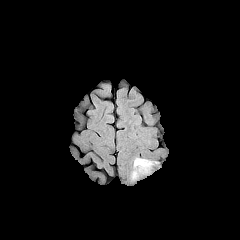
FLAIR magnetic resonance.
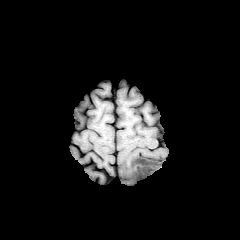
Same slice, T1-weighted MRI.
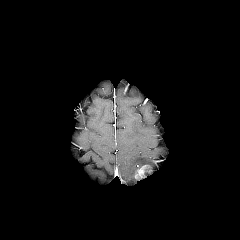
Post-contrast T1-weighted MRI.
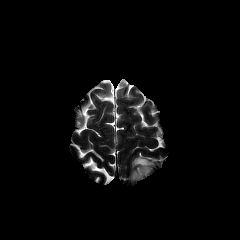
T2-weighted MR image.
240x240 px | Axial view
peritumoral edema: box(131, 158, 152, 179) | enhancing tumor: box(134, 165, 150, 178)